Slice 42 of 155.
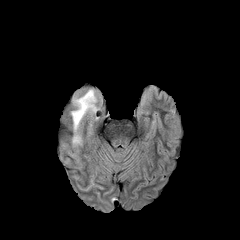
FLAIR MR image.
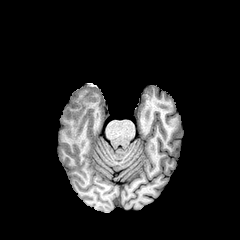
T1-weighted MRI of the same slice.
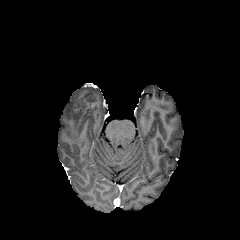
Same slice, post-contrast T1-weighted MR.
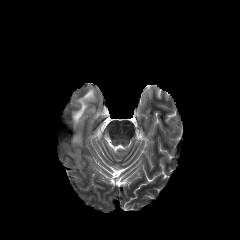
T2-weighted MRI.
Segmented structures:
• peritumoral edema: (left=73, top=135, right=80, bottom=143), (left=71, top=89, right=96, bottom=130)